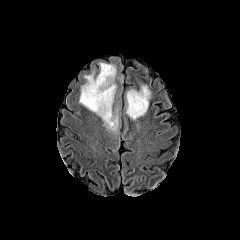
FLAIR MR image.
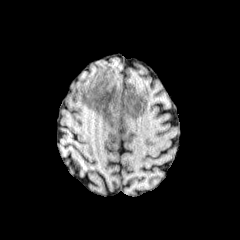
Same slice, T1-weighted MRI.
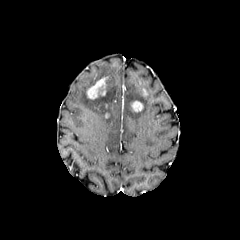
Same slice, post-contrast T1-weighted MR image.
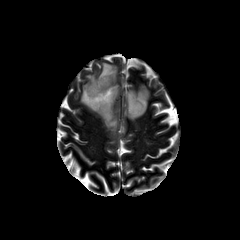
Same slice, T2-weighted MR.
Brain
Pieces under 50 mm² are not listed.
enhancing tumor = (x1=86, y1=77, x2=108, y2=99), (x1=131, y1=101, x2=143, y2=112)
peritumoral edema = (x1=79, y1=63, x2=118, y2=132), (x1=126, y1=85, x2=150, y2=120)
necrotic tumor core = (x1=97, y1=103, x2=106, y2=110)